Slice 94/155, Image size 240x240
FLAIR MR.
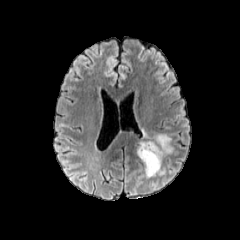
T1-weighted magnetic resonance.
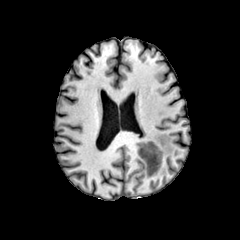
Post-contrast T1-weighted MRI.
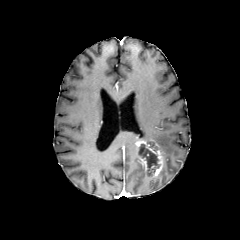
T2-weighted MR image.
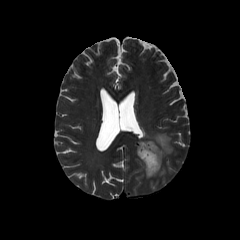
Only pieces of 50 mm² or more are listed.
The largest necrotic tumor core region appears at l=140, t=144, r=159, b=171. The largest enhancing tumor region is bounded by l=137, t=141, r=164, b=177. The largest peritumoral edema region is bounded by l=146, t=134, r=173, b=156.